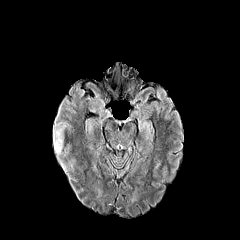
FLAIR magnetic resonance.
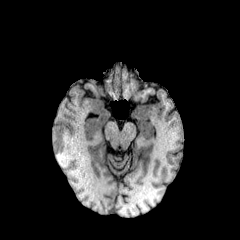
T1-weighted magnetic resonance.
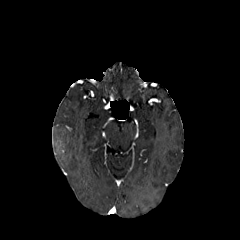
Post-contrast T1-weighted MR image of the same slice.
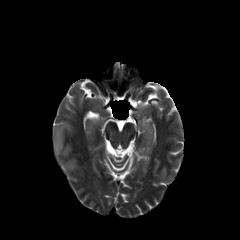
T2-weighted MRI of the same slice.
Brain, Axial plane
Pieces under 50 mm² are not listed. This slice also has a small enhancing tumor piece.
The largest peritumoral edema region appears at x1=54, y1=125, x2=63, y2=142.